Axial view; Head
FLAIR MR.
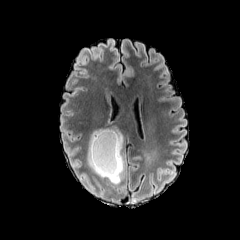
T1-weighted MR.
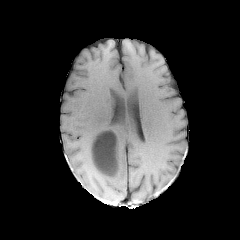
Post-contrast T1-weighted magnetic resonance.
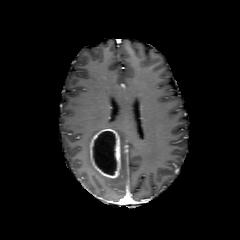
T2-weighted MR image.
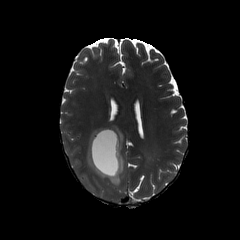
{
  "peritumoral_edema": [
    "region(88, 127, 123, 185)"
  ],
  "necrotic_tumor_core": [
    "region(93, 131, 116, 175)"
  ],
  "enhancing_tumor": [
    "region(90, 128, 120, 178)"
  ]
}